FLAIR magnetic resonance.
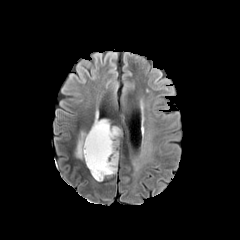
T1-weighted MR image.
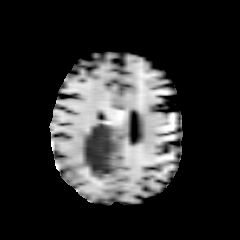
Post-contrast T1-weighted MRI.
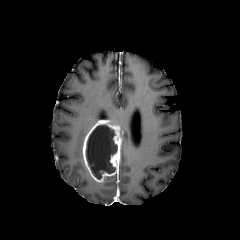
T2-weighted MR.
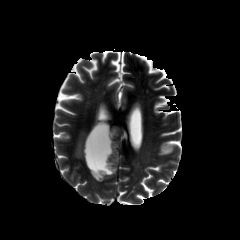
Brain | Axial view
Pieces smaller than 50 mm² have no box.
necrotic tumor core = region(86, 125, 117, 179)
enhancing tumor = region(82, 120, 122, 182)
peritumoral edema = region(75, 132, 86, 158)